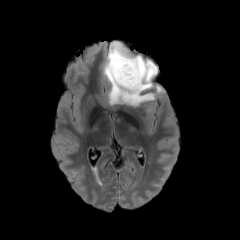
FLAIR MR.
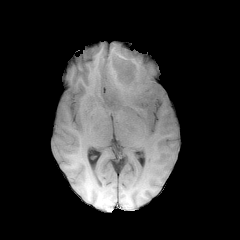
T1-weighted magnetic resonance of the same slice.
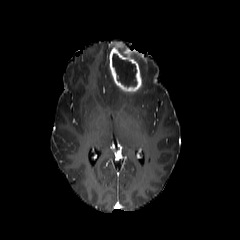
Same slice, post-contrast T1-weighted magnetic resonance.
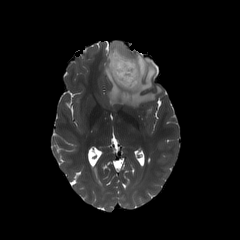
Same slice, T2-weighted magnetic resonance.
Brain, Axial plane
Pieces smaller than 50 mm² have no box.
peritumoral_edema:
  - region(103, 42, 162, 107)
enhancing_tumor:
  - region(109, 42, 142, 93)
necrotic_tumor_core:
  - region(112, 54, 136, 86)